FLAIR MR image.
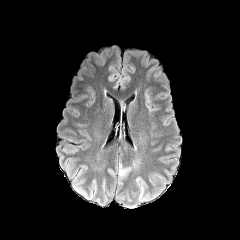
T1-weighted MR image.
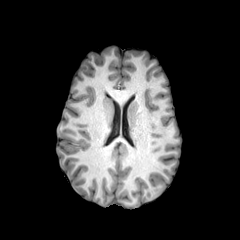
Post-contrast T1-weighted MRI.
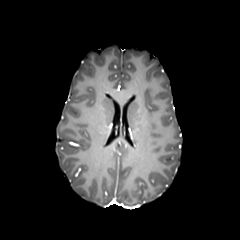
T2-weighted magnetic resonance.
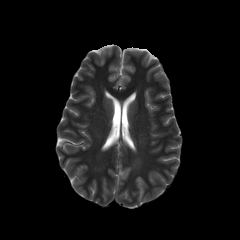
Brain.
peritumoral_edema:
  - box=[119, 164, 133, 175]